Slice 62 of 155; Head; Image width 240 mm, 1.00 mm slice spacing
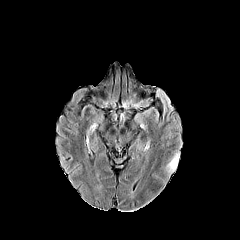
FLAIR magnetic resonance.
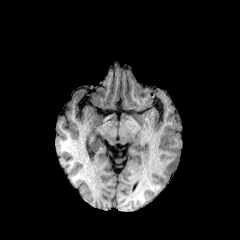
Same slice, T1-weighted MRI.
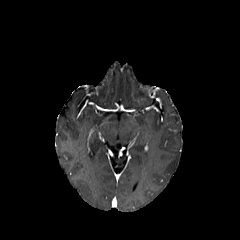
Post-contrast T1-weighted MR.
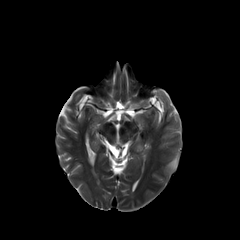
T2-weighted MR image of the same slice.
peritumoral edema: x1=167, y1=154, x2=179, y2=172